Axial view | Slice 59/155 | Head
FLAIR MR image.
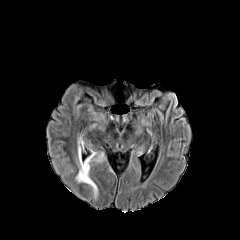
T1-weighted MR image.
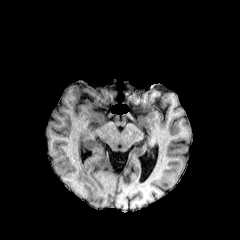
Post-contrast T1-weighted MR image.
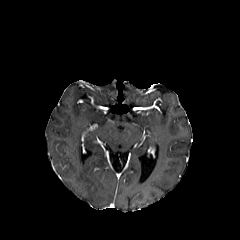
T2-weighted magnetic resonance.
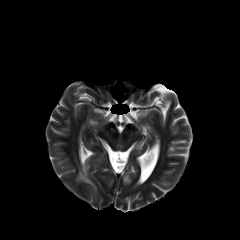
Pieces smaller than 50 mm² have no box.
peritumoral edema: 76,148,97,195